240x240 | Head | Slice 77/155
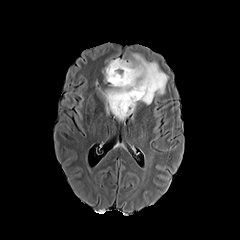
FLAIR MR.
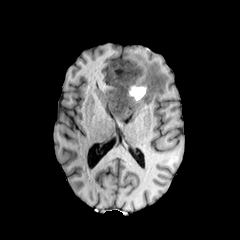
T1-weighted MR.
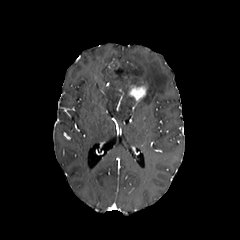
Post-contrast T1-weighted magnetic resonance.
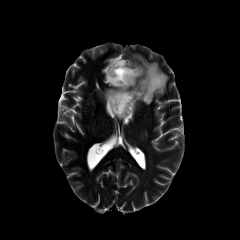
T2-weighted magnetic resonance.
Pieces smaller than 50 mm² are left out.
The 3 largest peritumoral edema regions appear at 99:88:137:120, 102:59:115:82, 127:52:168:104. The 2 largest enhancing tumor regions appear at 126:80:147:108, 108:60:120:72. The largest necrotic tumor core region is located at 109:60:134:100.